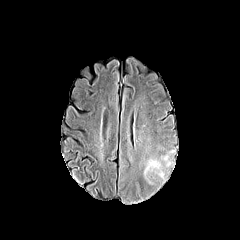
FLAIR MR.
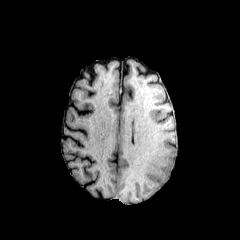
T1-weighted MR of the same slice.
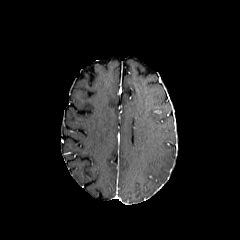
Post-contrast T1-weighted MR image.
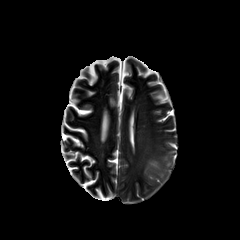
Same slice, T2-weighted MR.
Axial view
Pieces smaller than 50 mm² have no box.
The largest peritumoral edema region is at box=[144, 159, 160, 174].